240x240, Axial slice
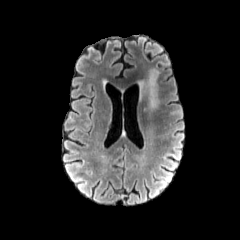
FLAIR MRI.
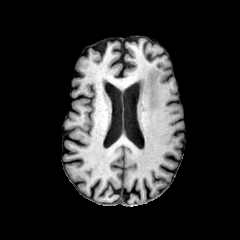
T1-weighted magnetic resonance.
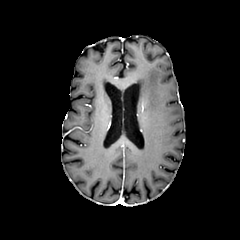
Same slice, post-contrast T1-weighted magnetic resonance.
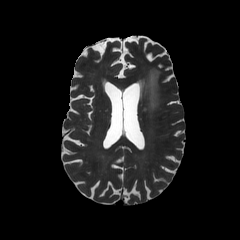
T2-weighted magnetic resonance of the same slice.
peritumoral edema — (left=138, top=69, right=159, bottom=113)